FLAIR magnetic resonance.
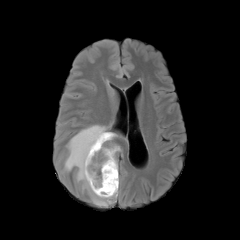
T1-weighted MR.
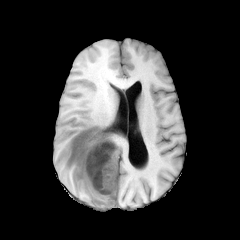
Post-contrast T1-weighted MR image.
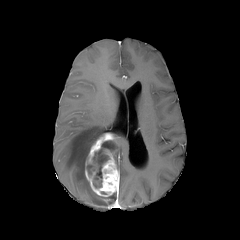
T2-weighted magnetic resonance.
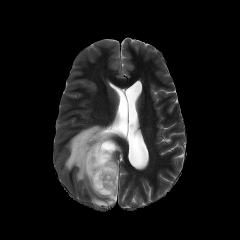
Brain
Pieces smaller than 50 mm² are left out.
The largest necrotic tumor core region lies within 93,141,115,180. The largest enhancing tumor region appears at 85,133,119,196. 2 peritumoral edema regions appear at 114,141,121,169; 64,125,117,206.